FLAIR MR.
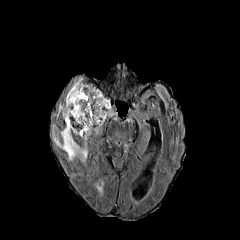
T1-weighted magnetic resonance.
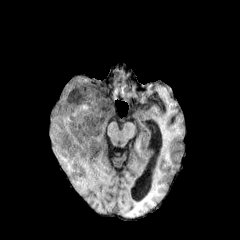
Post-contrast T1-weighted MR.
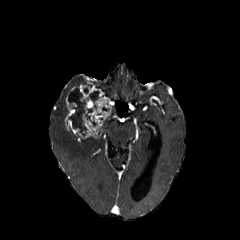
T2-weighted MRI.
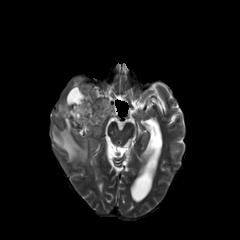
Head. Axial view.
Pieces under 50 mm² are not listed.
<segmentation>
  <necrotic_tumor_core>l=89, t=91, r=98, b=101; l=68, t=86, r=86, b=135</necrotic_tumor_core>
  <enhancing_tumor>l=65, t=83, r=111, b=138</enhancing_tumor>
  <peritumoral_edema>l=72, t=78, r=82, b=87; l=52, t=125, r=87, b=162; l=55, t=103, r=67, b=119</peritumoral_edema>
</segmentation>